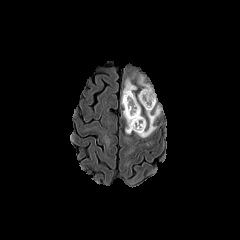
FLAIR MR image.
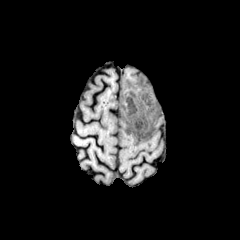
T1-weighted MR image.
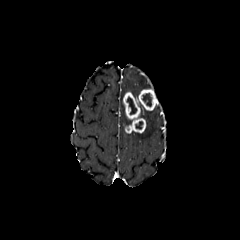
Post-contrast T1-weighted MRI of the same slice.
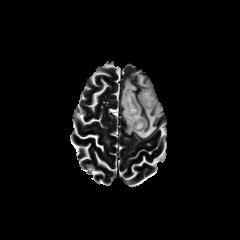
T2-weighted MRI.
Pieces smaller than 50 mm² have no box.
peritumoral edema = rect(138, 75, 150, 88); rect(121, 78, 136, 125); rect(136, 105, 160, 138)
necrotic tumor core = rect(142, 93, 151, 106); rect(127, 97, 136, 114)
enhancing tumor = rect(123, 91, 146, 133); rect(137, 88, 157, 110)